Slice 129/155, Image covers 240 mm x 240 mm, Head
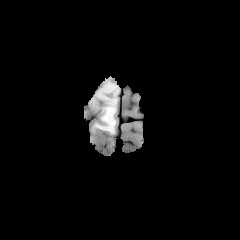
FLAIR MRI.
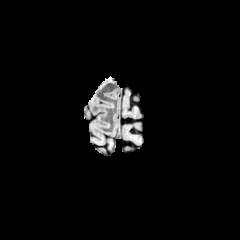
T1-weighted MR image of the same slice.
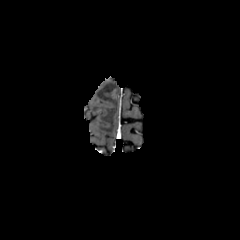
Post-contrast T1-weighted magnetic resonance.
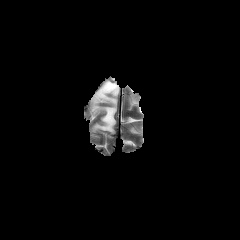
T2-weighted MR image of the same slice.
The peritumoral edema is located at 92:80:119:133.